Head. Axial plane.
FLAIR MR image.
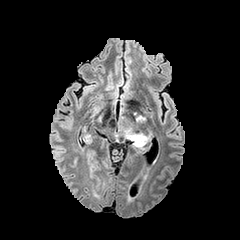
T1-weighted magnetic resonance.
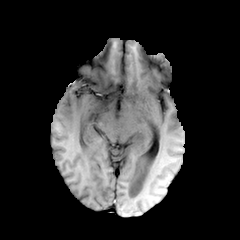
Post-contrast T1-weighted MR image.
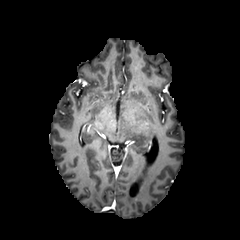
T2-weighted MR image.
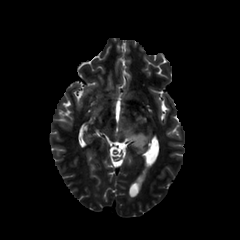
peritumoral edema: (x1=120, y1=120, x2=149, y2=152)